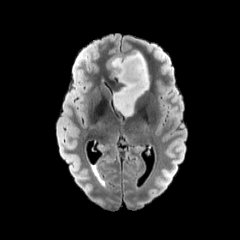
FLAIR MR.
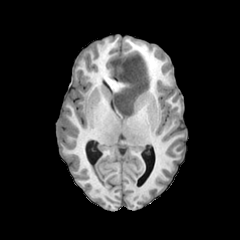
T1-weighted MRI.
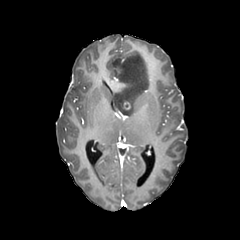
Post-contrast T1-weighted MR image of the same slice.
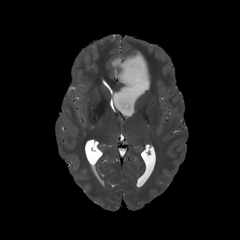
T2-weighted MRI of the same slice.
Head
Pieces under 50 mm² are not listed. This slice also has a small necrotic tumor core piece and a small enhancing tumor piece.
Findings:
- peritumoral edema: [x1=110, y1=51, x2=149, y2=117]